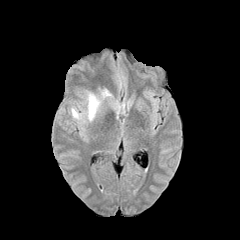
FLAIR magnetic resonance.
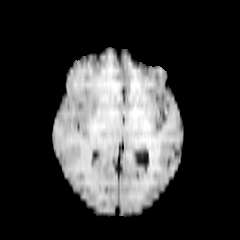
T1-weighted MRI.
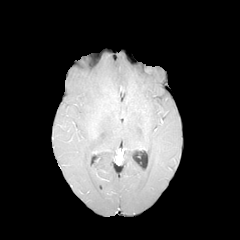
Same slice, post-contrast T1-weighted MRI.
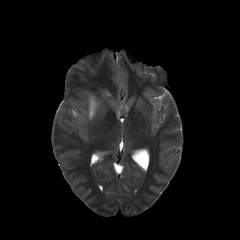
T2-weighted magnetic resonance.
Head; 240x240
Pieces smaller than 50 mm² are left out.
peritumoral edema: bounding box left=71, top=108, right=81, bottom=119; left=86, top=93, right=100, bottom=120